Head. Axial plane.
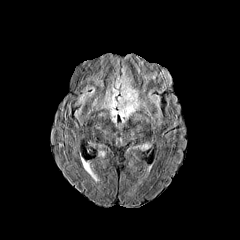
FLAIR magnetic resonance.
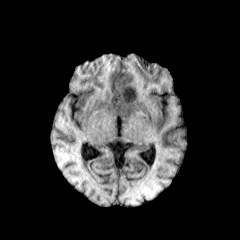
T1-weighted magnetic resonance.
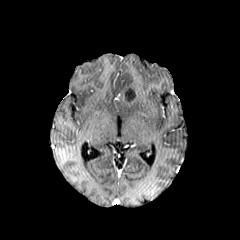
Post-contrast T1-weighted MR image.
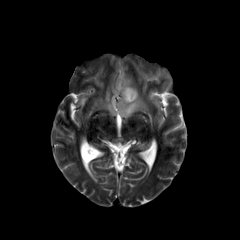
T2-weighted MR image.
<segmentation>
  <necrotic_tumor_core>box=[124, 88, 136, 102]</necrotic_tumor_core>
  <peritumoral_edema>box=[102, 67, 140, 122]</peritumoral_edema>
  <enhancing_tumor>box=[120, 83, 138, 106]</enhancing_tumor>
</segmentation>